Image width 240 mm; Axial slice; 240x240; Slice 59/155
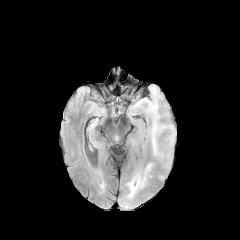
FLAIR MR image.
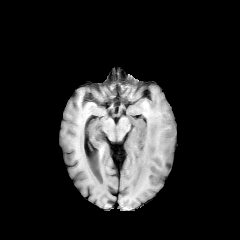
T1-weighted MRI.
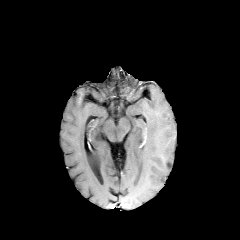
Post-contrast T1-weighted MR.
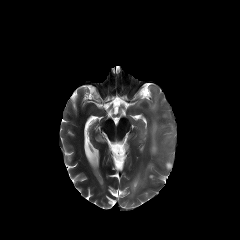
T2-weighted magnetic resonance.
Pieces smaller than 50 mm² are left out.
<segmentation>
  <peritumoral_edema>(129, 178, 142, 191), (151, 120, 159, 154)</peritumoral_edema>
</segmentation>